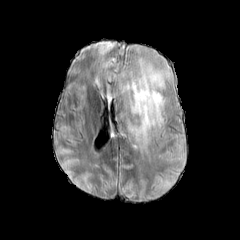
FLAIR MR image.
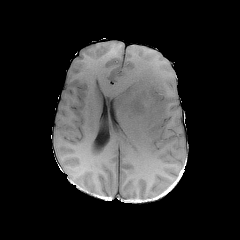
Same slice, T1-weighted magnetic resonance.
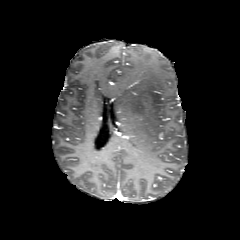
Post-contrast T1-weighted MRI.
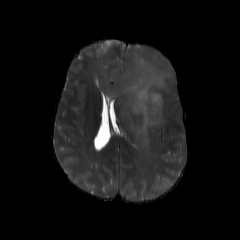
Same slice, T2-weighted MRI.
Brain
The peritumoral edema appears at x1=116 y1=59 x2=172 y2=143.